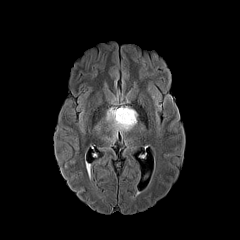
FLAIR MRI.
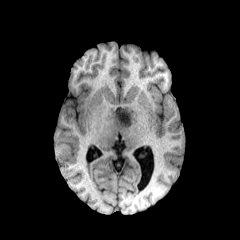
T1-weighted MR image.
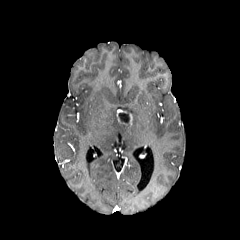
Post-contrast T1-weighted magnetic resonance.
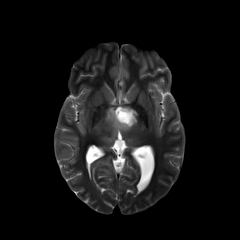
Same slice, T2-weighted MR image.
The necrotic tumor core is at 118, 113, 129, 123. The enhancing tumor lies within 116, 109, 133, 125. The peritumoral edema appears at 102, 106, 137, 142.